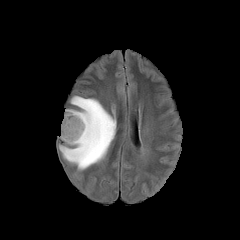
FLAIR MR image.
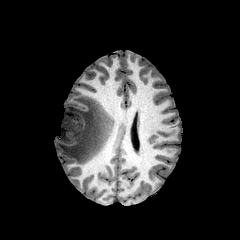
T1-weighted MR image.
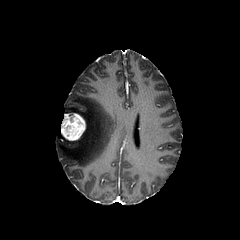
Same slice, post-contrast T1-weighted MRI.
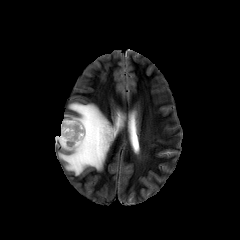
T2-weighted magnetic resonance.
Axial view
enhancing tumor: bounding box (61,113,85,140)
peritumoral edema: bounding box (58,96,116,170)